Brain. Image width 240 mm, 1.00 mm slice spacing.
FLAIR MR.
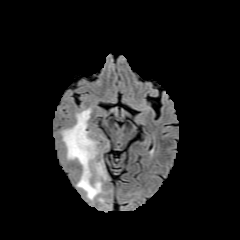
T1-weighted magnetic resonance.
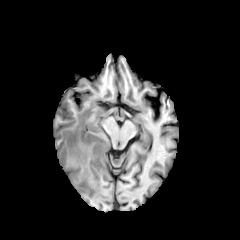
Post-contrast T1-weighted magnetic resonance.
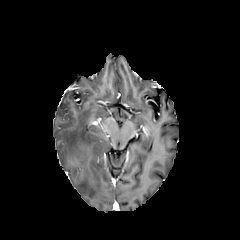
T2-weighted MRI.
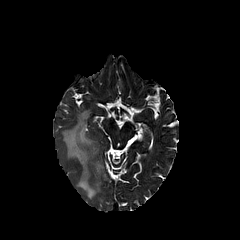
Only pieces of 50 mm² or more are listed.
Findings:
* peritumoral edema: x1=61 y1=109 x2=105 y2=199